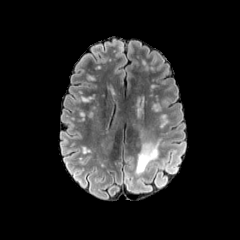
FLAIR magnetic resonance.
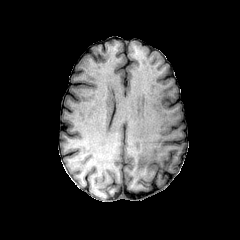
T1-weighted MR image.
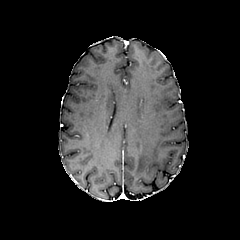
Post-contrast T1-weighted magnetic resonance.
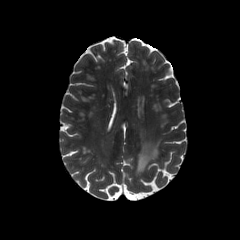
Same slice, T2-weighted MR.
Image size 240x240. Head.
peritumoral edema at x1=135 y1=141 x2=159 y2=175